Brain; 240x240
FLAIR magnetic resonance.
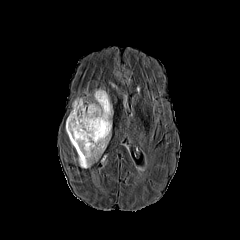
T1-weighted MRI.
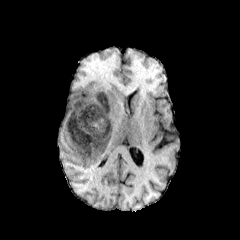
Post-contrast T1-weighted magnetic resonance.
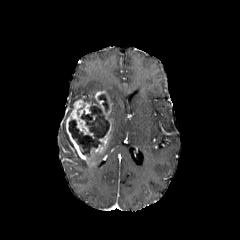
T2-weighted MR.
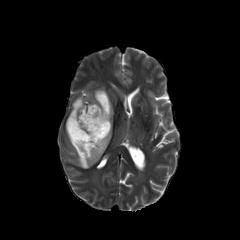
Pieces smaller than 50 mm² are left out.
peritumoral edema — x1=78, y1=157, x2=89, y2=168
enhancing tumor — x1=66, y1=91, x2=112, y2=166
necrotic tumor core — x1=98, y1=94, x2=108, y2=112; x1=69, y1=105, x2=109, y2=156